Image width 240 mm, 1.00 mm slice spacing; Axial plane; Slice index 81
FLAIR MR image.
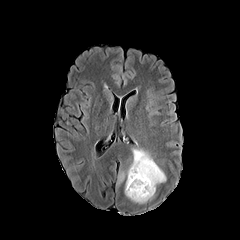
T1-weighted MR.
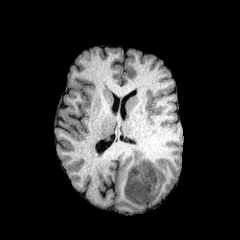
Post-contrast T1-weighted MR image.
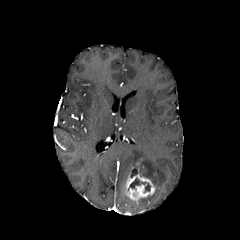
T2-weighted MRI.
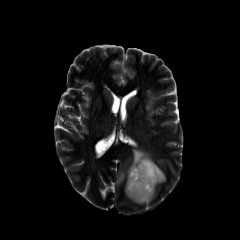
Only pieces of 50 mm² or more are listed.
peritumoral_edema:
  - 127,148,166,185
  - 138,194,153,203
  - 118,172,124,182
necrotic_tumor_core:
  - 130,167,137,177
  - 129,178,146,188
enhancing_tumor:
  - 125,162,155,201